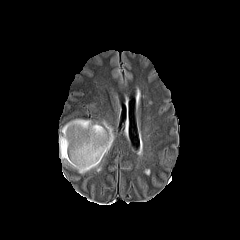
FLAIR MR image.
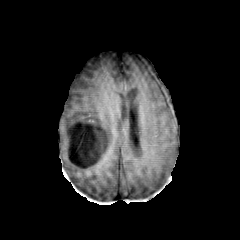
T1-weighted MRI.
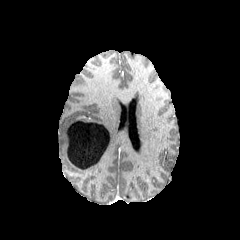
Post-contrast T1-weighted MR.
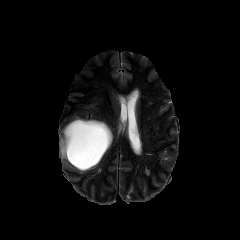
T2-weighted MR image.
Axial plane; Brain
{
  "peritumoral_edema": [
    "59:118:114:173"
  ],
  "necrotic_tumor_core": [
    "65:120:110:169"
  ]
}